Slice 113 of 155. Axial plane. Brain. Image covers 240 mm x 240 mm.
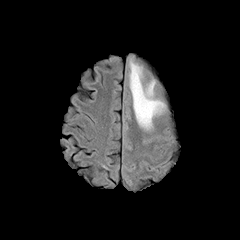
FLAIR MRI.
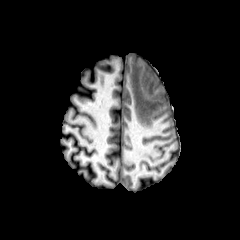
T1-weighted MR image.
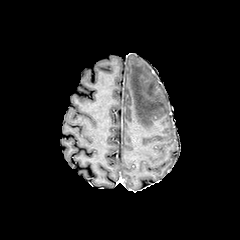
Post-contrast T1-weighted magnetic resonance.
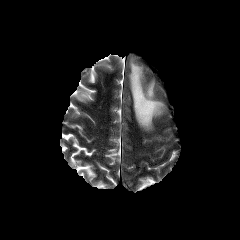
T2-weighted MR image.
Segmented structures:
• peritumoral edema: 129, 59, 165, 129